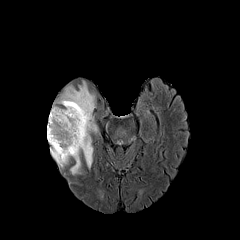
FLAIR MR image.
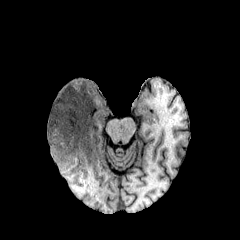
T1-weighted magnetic resonance.
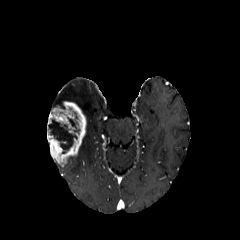
Same slice, post-contrast T1-weighted MR.
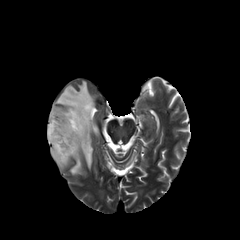
T2-weighted MR image.
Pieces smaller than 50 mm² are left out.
peritumoral edema — {"x1": 54, "y1": 81, "x2": 97, "y2": 174}
enhancing tumor — {"x1": 47, "y1": 101, "x2": 86, "y2": 166}
necrotic tumor core — {"x1": 48, "y1": 119, "x2": 76, "y2": 153}